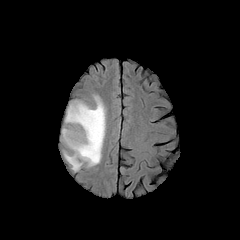
FLAIR magnetic resonance.
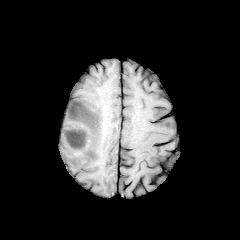
Same slice, T1-weighted magnetic resonance.
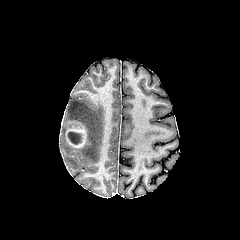
Post-contrast T1-weighted MR of the same slice.
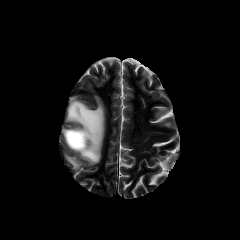
Same slice, T2-weighted MR image.
Axial plane.
{"necrotic_tumor_core": ["x1=68 y1=132 x2=80 y2=144"], "enhancing_tumor": ["x1=64 y1=122 x2=87 y2=148"], "peritumoral_edema": ["x1=62 y1=96 x2=105 y2=170"]}